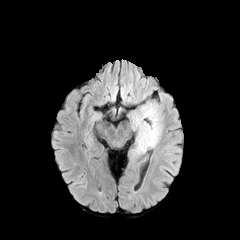
FLAIR magnetic resonance.
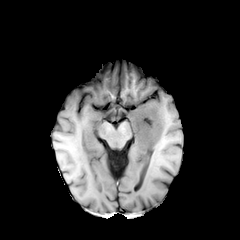
T1-weighted magnetic resonance.
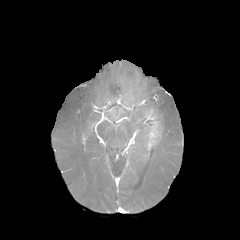
Post-contrast T1-weighted MRI.
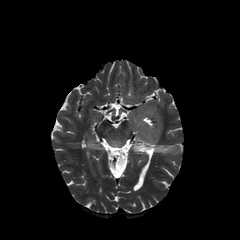
Same slice, T2-weighted MRI.
Brain.
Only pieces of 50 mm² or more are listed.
The enhancing tumor appears at (left=135, top=107, right=162, bottom=148). The 2 largest peritumoral edema regions appear at (left=129, top=102, right=163, bottom=130), (left=132, top=133, right=149, bottom=154).